FLAIR MRI.
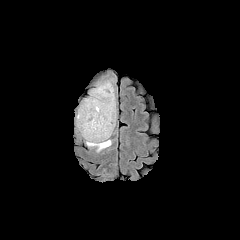
T1-weighted MR.
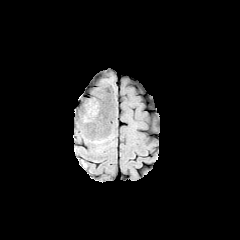
Post-contrast T1-weighted magnetic resonance.
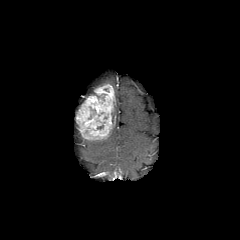
T2-weighted MR image.
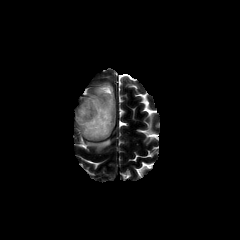
Brain, Axial plane, Image size 240x240
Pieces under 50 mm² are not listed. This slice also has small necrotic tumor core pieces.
The 2 largest peritumoral edema regions are located at 114, 91, 116, 125; 85, 137, 111, 152. The enhancing tumor is at 76, 84, 115, 140.